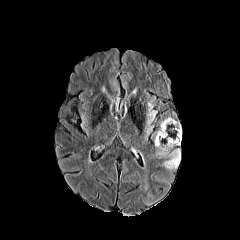
FLAIR MR.
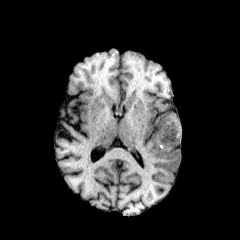
T1-weighted magnetic resonance of the same slice.
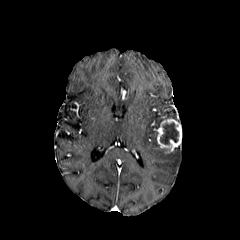
Post-contrast T1-weighted MR image.
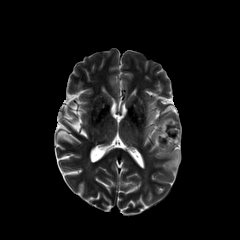
Same slice, T2-weighted magnetic resonance.
Brain
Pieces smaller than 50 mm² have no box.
The enhancing tumor appears at <box>157,118,181,150</box>. The 2 largest peritumoral edema regions appear at <box>146,104,155,133</box>, <box>157,149,180,169</box>. The necrotic tumor core lies within <box>160,123,178,144</box>.